Slice 59 of 155; Axial plane; Brain
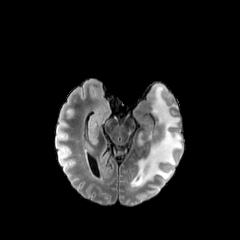
FLAIR MR image.
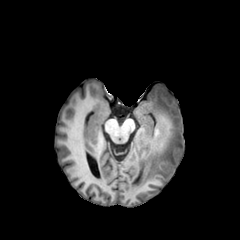
Same slice, T1-weighted MR.
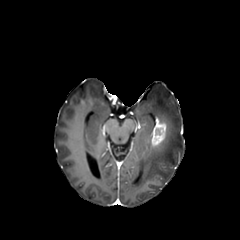
Same slice, post-contrast T1-weighted MR.
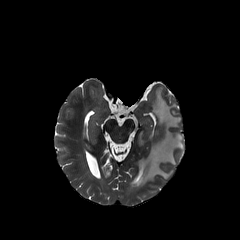
T2-weighted MRI.
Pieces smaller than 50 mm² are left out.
enhancing tumor: bounding box x1=151, y1=118, x2=168, y2=147
peritumoral edema: bounding box x1=131, y1=85, x2=183, y2=187